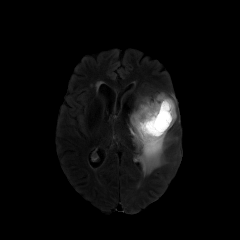
FLAIR MR image.
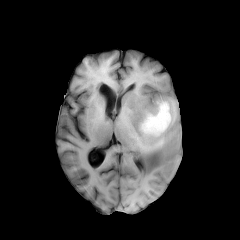
T1-weighted MR image.
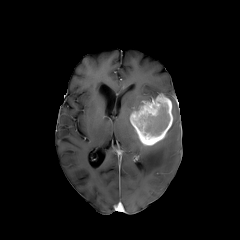
Post-contrast T1-weighted MR image.
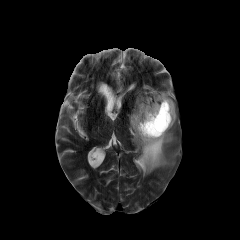
T2-weighted MR image of the same slice.
Image size 240x240 | Brain
necrotic tumor core — 146:107:168:133
enhancing tumor — 130:93:173:145
peritumoral edema — 133:91:177:127, 129:122:173:176